FLAIR MR.
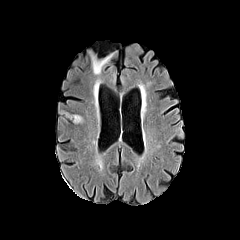
T1-weighted MRI.
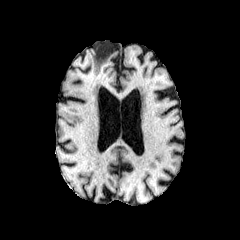
Post-contrast T1-weighted MR.
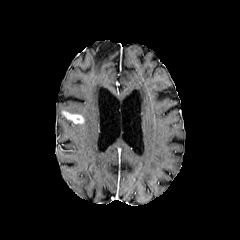
T2-weighted MR image.
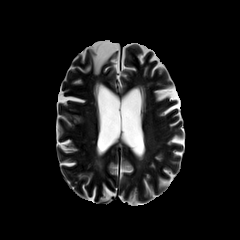
Image size 240x240
enhancing tumor at {"x1": 61, "y1": 111, "x2": 84, "y2": 124}